FLAIR MRI.
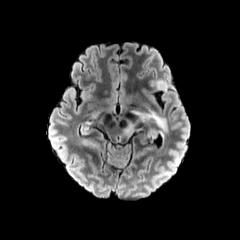
T1-weighted MRI.
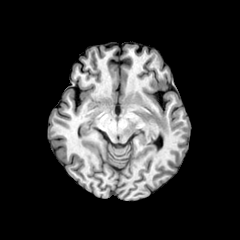
Post-contrast T1-weighted MRI.
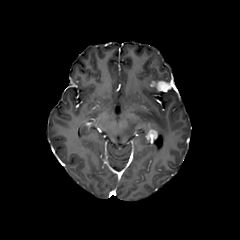
T2-weighted magnetic resonance.
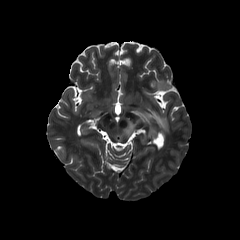
Image size 240x240. Head.
Annotated regions:
- enhancing tumor: {"x1": 146, "y1": 129, "x2": 157, "y2": 140}
- peritumoral edema: {"x1": 124, "y1": 110, "x2": 167, "y2": 135}